Slice 67/155; Image width 240 mm, 1.00 mm slice spacing; Brain; Axial slice
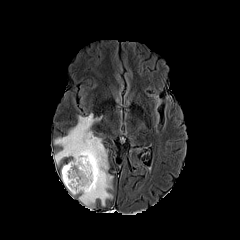
FLAIR MR image.
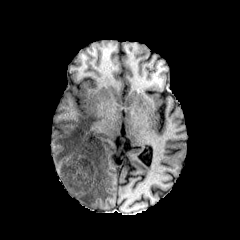
Same slice, T1-weighted magnetic resonance.
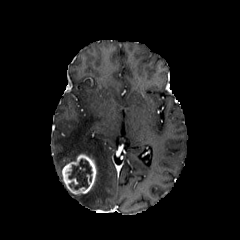
Post-contrast T1-weighted magnetic resonance.
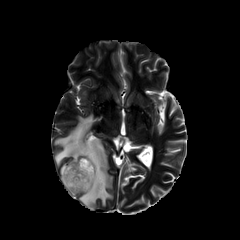
Same slice, T2-weighted MR.
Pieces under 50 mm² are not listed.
The largest peritumoral edema region appears at l=54, t=113, r=113, b=209. The necrotic tumor core appears at l=68, t=159, r=91, b=189. The largest enhancing tumor region appears at l=62, t=154, r=96, b=194.